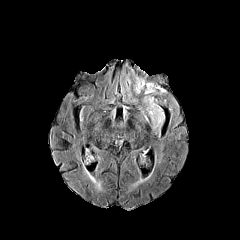
FLAIR MR.
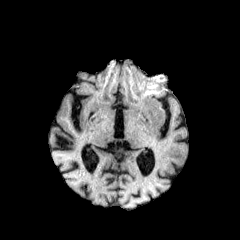
T1-weighted magnetic resonance.
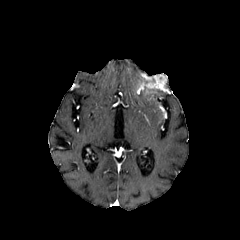
Post-contrast T1-weighted MR.
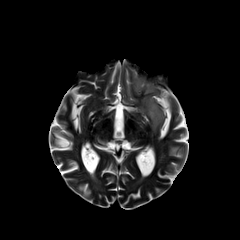
T2-weighted magnetic resonance.
Axial plane
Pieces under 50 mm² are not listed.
peritumoral edema — bbox(144, 96, 164, 130); bbox(143, 86, 158, 94); bbox(134, 75, 144, 92)
enhancing tumor — bbox(137, 75, 166, 93)